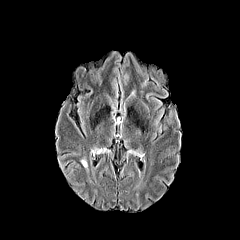
FLAIR MR image.
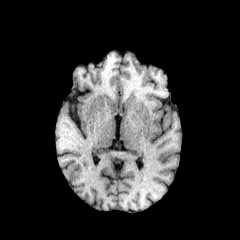
T1-weighted MR.
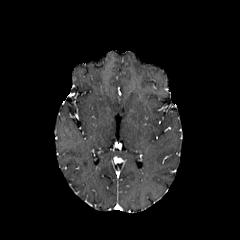
Post-contrast T1-weighted MR.
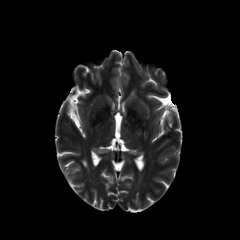
T2-weighted MRI.
Axial view
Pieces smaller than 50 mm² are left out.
peritumoral edema = {"x1": 79, "y1": 158, "x2": 88, "y2": 169}